Image size 240x240, Axial slice
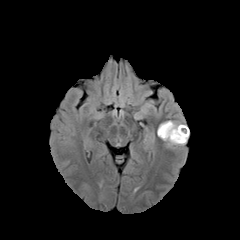
FLAIR MRI.
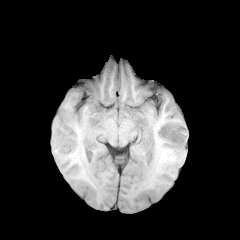
Same slice, T1-weighted magnetic resonance.
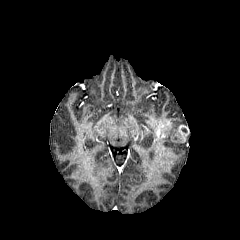
Post-contrast T1-weighted magnetic resonance.
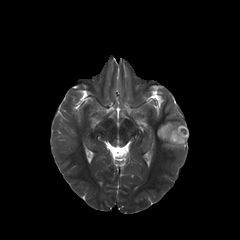
T2-weighted magnetic resonance.
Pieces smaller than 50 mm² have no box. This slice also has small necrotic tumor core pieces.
peritumoral edema: bounding box 161,120,188,147
enhancing tumor: bounding box 157,121,171,137; 171,125,188,142